FLAIR MR image.
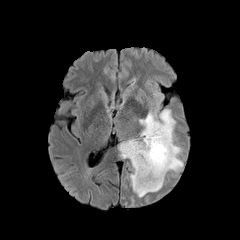
T1-weighted MR.
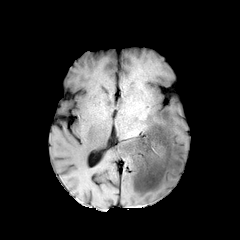
Post-contrast T1-weighted MR.
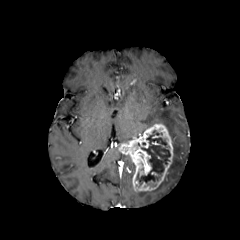
T2-weighted magnetic resonance.
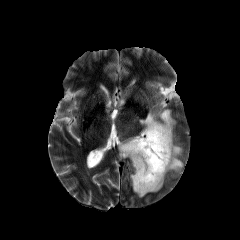
Axial slice; Head
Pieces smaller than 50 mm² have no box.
enhancing_tumor:
  - [119, 123, 173, 192]
peritumoral_edema:
  - [139, 109, 183, 172]
  - [135, 180, 164, 197]
necrotic_tumor_core:
  - [137, 131, 170, 183]